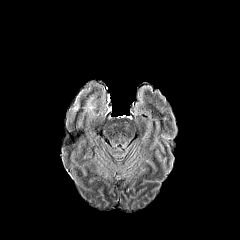
FLAIR MRI.
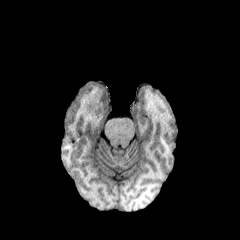
Same slice, T1-weighted MRI.
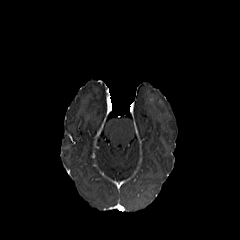
Same slice, post-contrast T1-weighted MR image.
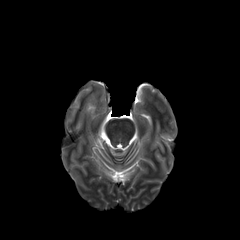
T2-weighted magnetic resonance.
240x240 | Brain
peritumoral edema at box(84, 96, 94, 112)